Axial view. Image size 240x240.
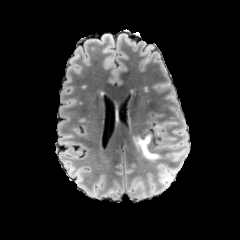
FLAIR magnetic resonance.
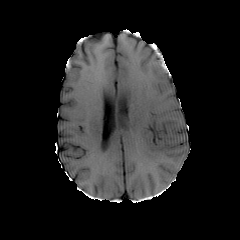
T1-weighted MRI.
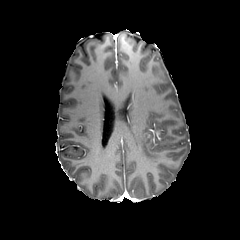
Same slice, post-contrast T1-weighted magnetic resonance.
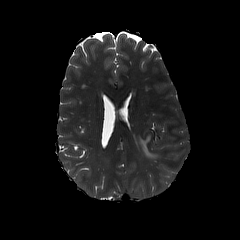
T2-weighted MRI of the same slice.
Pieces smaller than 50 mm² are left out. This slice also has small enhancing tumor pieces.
The 2 largest peritumoral edema regions are located at [x1=134, y1=134, x2=161, y2=160], [x1=155, y1=124, x2=161, y2=135].